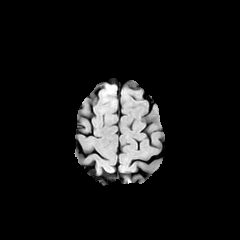
FLAIR MR image.
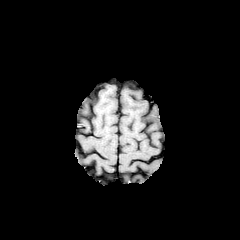
Same slice, T1-weighted MR image.
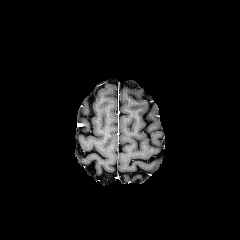
Post-contrast T1-weighted magnetic resonance.
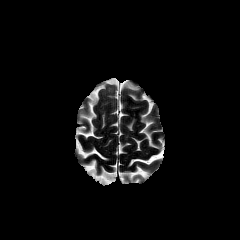
T2-weighted MR image of the same slice.
Head; Axial slice
peritumoral edema: <bbox>104, 86, 114, 94</bbox>